FLAIR MRI.
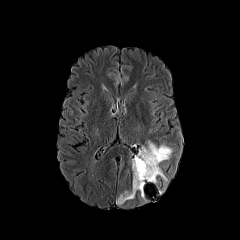
T1-weighted magnetic resonance.
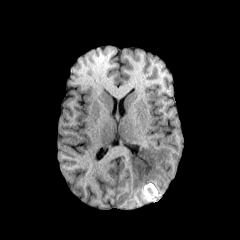
Post-contrast T1-weighted MR.
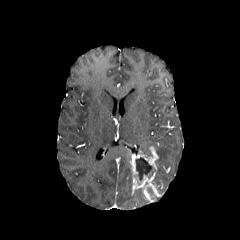
T2-weighted MR image.
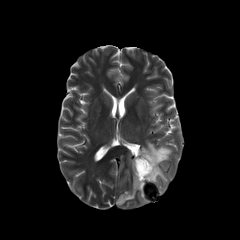
240x240
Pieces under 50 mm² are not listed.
necrotic tumor core: bounding box [x1=135, y1=157, x2=152, y2=180]
enhancing tumor: bounding box [x1=130, y1=146, x2=158, y2=192]
peritumoral edema: bounding box [x1=116, y1=190, x2=137, y2=205], [x1=142, y1=141, x2=172, y2=185], [x1=138, y1=188, x2=145, y2=202]